FLAIR MR.
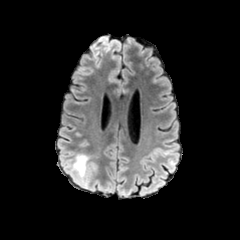
T1-weighted MR image.
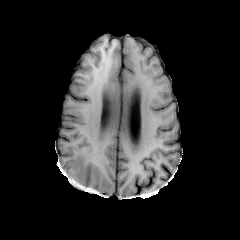
Post-contrast T1-weighted MR.
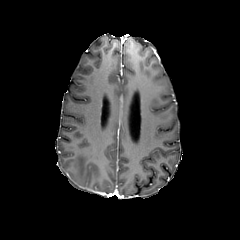
T2-weighted MR image.
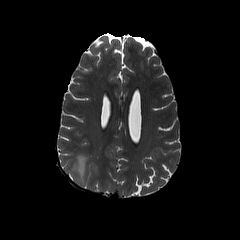
peritumoral_edema:
  - (x1=67, y1=153, x2=95, y2=188)